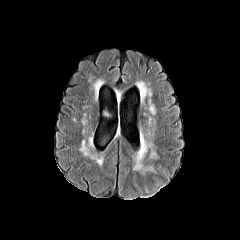
FLAIR MRI.
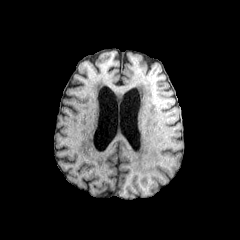
Same slice, T1-weighted MR image.
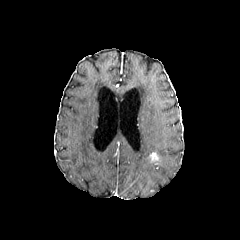
Same slice, post-contrast T1-weighted MRI.
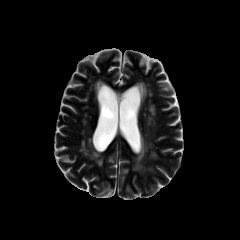
T2-weighted MR image of the same slice.
• enhancing tumor: box=[150, 152, 157, 161]